Brain
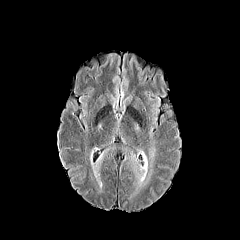
FLAIR MR.
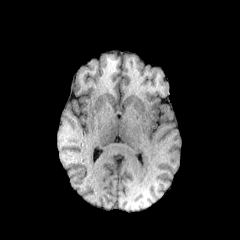
T1-weighted MR.
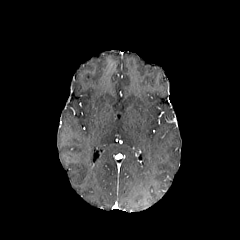
Post-contrast T1-weighted MR of the same slice.
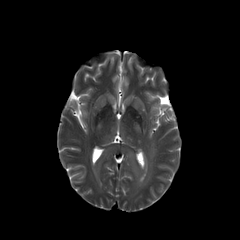
Same slice, T2-weighted MRI.
peritumoral edema at 91, 145, 115, 187; 124, 125, 155, 198